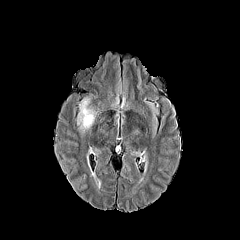
FLAIR MR.
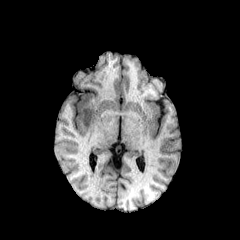
T1-weighted MRI of the same slice.
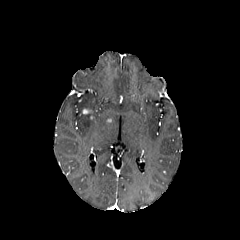
Post-contrast T1-weighted magnetic resonance.
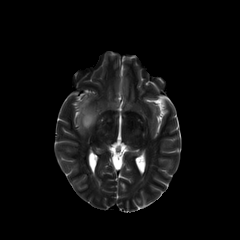
T2-weighted MRI of the same slice.
240x240 px.
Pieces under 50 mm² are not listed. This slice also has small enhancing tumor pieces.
peritumoral edema: 78,98,96,131